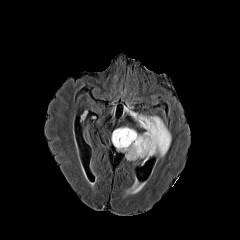
FLAIR MR image.
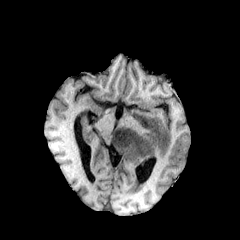
T1-weighted MR image of the same slice.
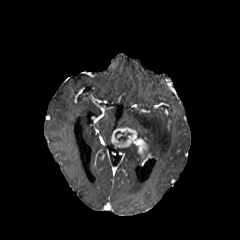
Same slice, post-contrast T1-weighted MR.
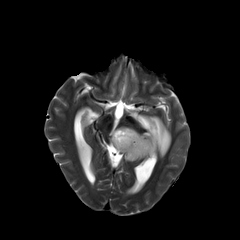
T2-weighted MR.
Head; 240x240 px
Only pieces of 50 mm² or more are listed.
Findings:
- necrotic tumor core: 118:132:131:141
- enhancing tumor: 111:127:151:158
- peritumoral edema: 131:112:171:157, 117:144:143:160